FLAIR MR.
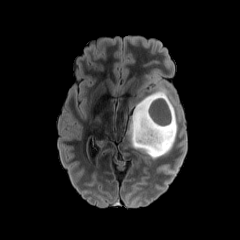
T1-weighted MR.
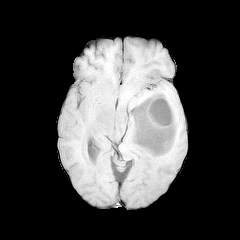
Post-contrast T1-weighted magnetic resonance.
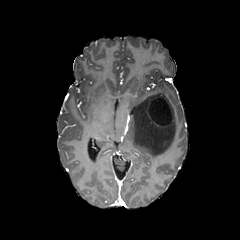
T2-weighted MR.
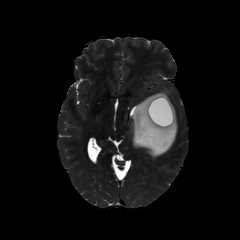
Brain
necrotic tumor core: l=149, t=98, r=171, b=125 | peritumoral edema: l=129, t=91, r=177, b=158 | enhancing tumor: l=147, t=96, r=173, b=127